Brain, Slice 70 of 155, Image size 240x240, Axial plane
FLAIR magnetic resonance.
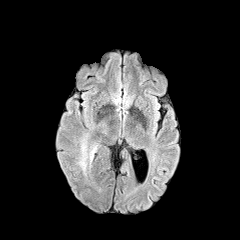
T1-weighted MRI.
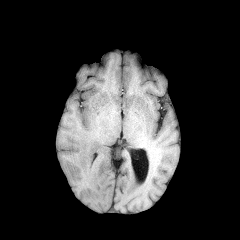
Post-contrast T1-weighted MRI.
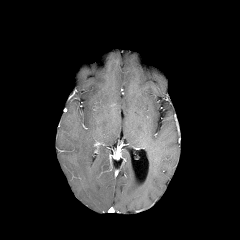
T2-weighted MRI.
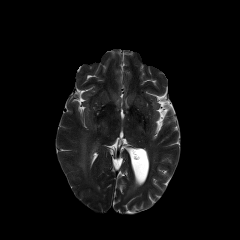
peritumoral_edema:
  - 78:135:99:175